Brain; Axial slice
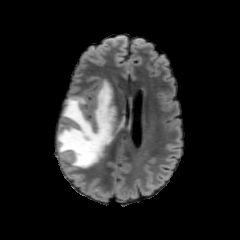
FLAIR MR.
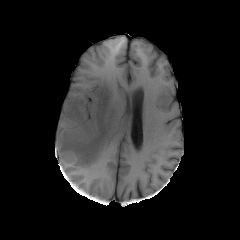
Same slice, T1-weighted MR.
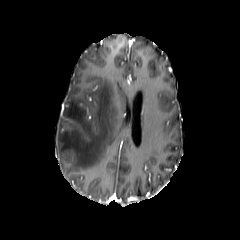
Same slice, post-contrast T1-weighted magnetic resonance.
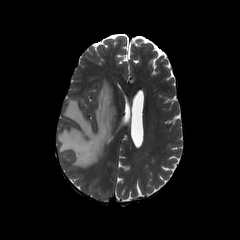
Same slice, T2-weighted MRI.
The peritumoral edema appears at <bbox>58, 81, 120, 167</bbox>.